Image size 240x240, Brain
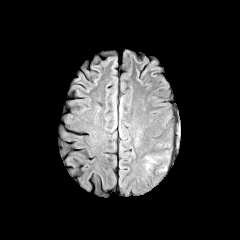
FLAIR MRI.
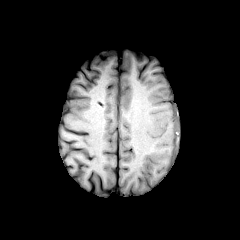
Same slice, T1-weighted MR image.
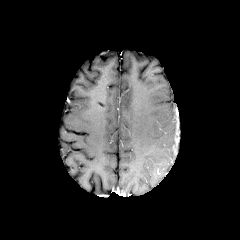
Post-contrast T1-weighted MR.
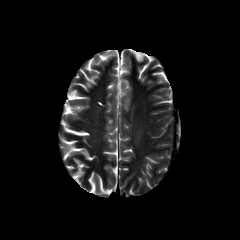
T2-weighted MR image.
{
  "peritumoral_edema": [
    "bbox=[142, 155, 169, 174]"
  ]
}